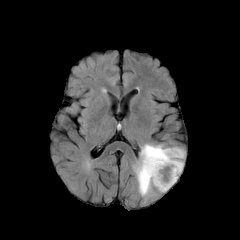
FLAIR MR.
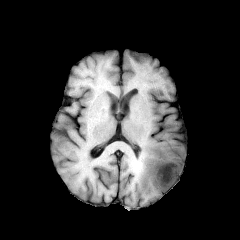
Same slice, T1-weighted MR.
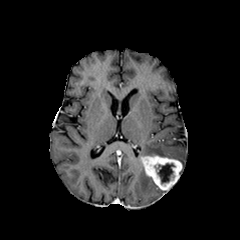
Post-contrast T1-weighted magnetic resonance.
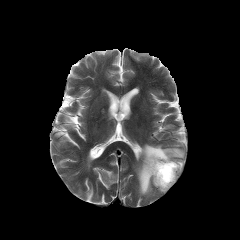
T2-weighted magnetic resonance.
Axial view. Image size 240x240.
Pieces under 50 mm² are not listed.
{"necrotic_tumor_core": ["[157,163,174,182]"], "peritumoral_edema": ["[135,144,184,196]"], "enhancing_tumor": ["[142,155,182,190]"]}